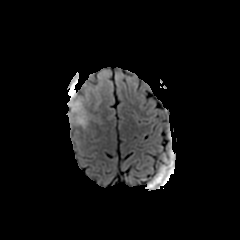
FLAIR MRI.
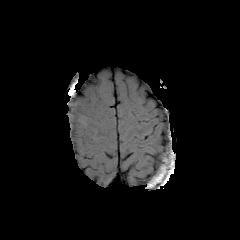
T1-weighted MRI of the same slice.
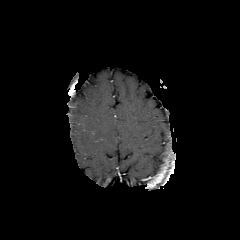
Post-contrast T1-weighted magnetic resonance.
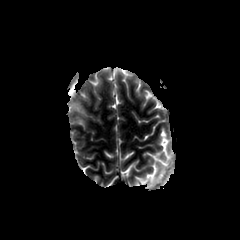
T2-weighted MRI.
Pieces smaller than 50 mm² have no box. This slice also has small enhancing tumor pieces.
peritumoral edema at [69,89,93,128]